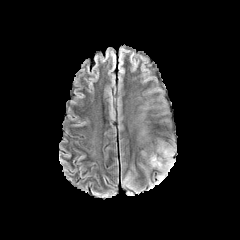
FLAIR MR image.
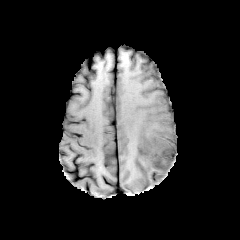
T1-weighted MR.
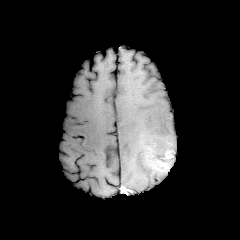
Same slice, post-contrast T1-weighted MR.
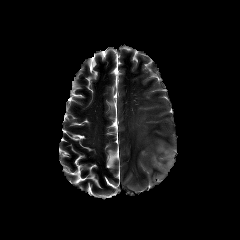
T2-weighted MR image.
Axial view. Head.
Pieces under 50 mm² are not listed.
enhancing tumor at rect(150, 149, 174, 172)
peritumoral edema at rect(157, 173, 166, 183); rect(149, 146, 173, 161)